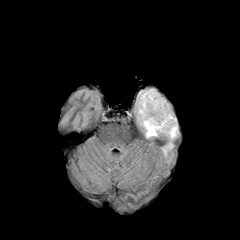
FLAIR MR.
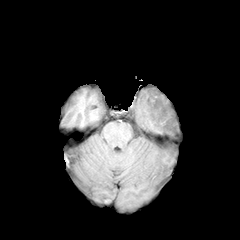
Same slice, T1-weighted magnetic resonance.
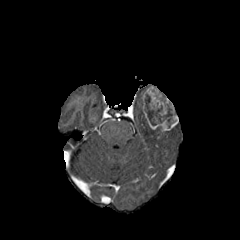
Post-contrast T1-weighted magnetic resonance of the same slice.
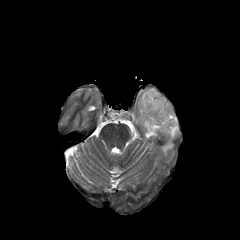
T2-weighted MRI.
Axial plane; 240x240
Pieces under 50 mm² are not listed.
necrotic tumor core: region(145, 94, 172, 125) | peritumoral edema: region(162, 142, 173, 155); region(135, 89, 178, 139) | enhancing tumor: region(141, 86, 178, 131)